Slice 103 of 155; Image width 240 mm, 1.00 mm slice spacing
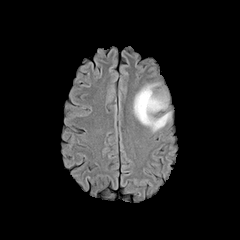
FLAIR MR.
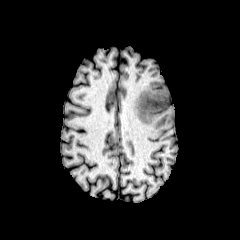
T1-weighted MRI.
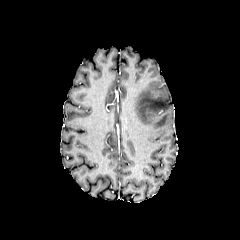
Post-contrast T1-weighted MR.
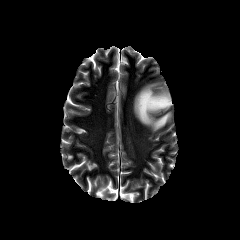
T2-weighted MR image.
peritumoral edema at 133:83:171:131